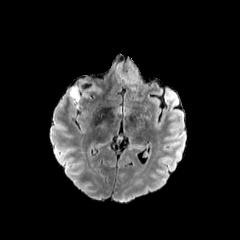
FLAIR MR.
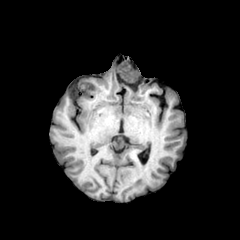
T1-weighted magnetic resonance.
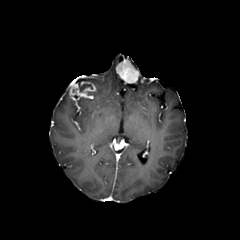
Same slice, post-contrast T1-weighted magnetic resonance.
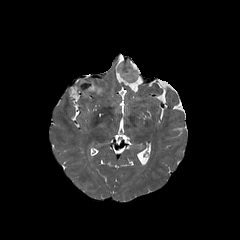
Same slice, T2-weighted magnetic resonance.
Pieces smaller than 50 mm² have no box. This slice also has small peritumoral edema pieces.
necrotic tumor core = 79,84,92,91
enhancing tumor = 115,60,139,84; 68,81,96,102